FLAIR MR image.
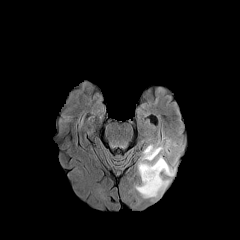
T1-weighted MRI.
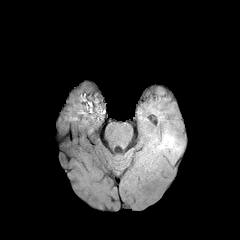
Post-contrast T1-weighted MR.
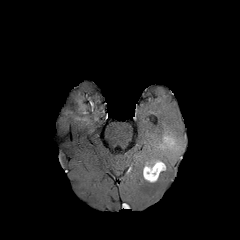
T2-weighted MRI.
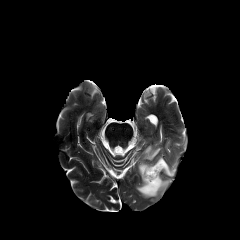
Axial slice | 240x240 px
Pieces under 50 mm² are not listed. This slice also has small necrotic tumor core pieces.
Findings:
• peritumoral edema: region(135, 144, 177, 198)
• enhancing tumor: region(143, 160, 165, 182)